Slice 115 of 155, Head
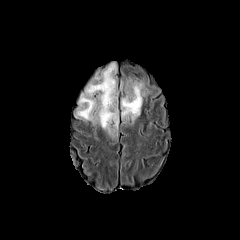
FLAIR MR.
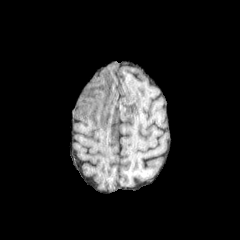
T1-weighted MR.
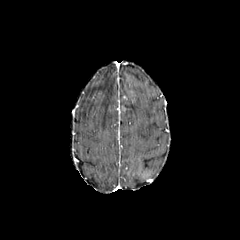
Same slice, post-contrast T1-weighted MR image.
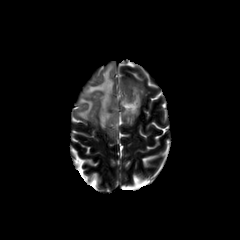
T2-weighted MR.
Annotated regions:
- peritumoral edema: x1=76, y1=62, x2=118, y2=135; x1=121, y1=82, x2=145, y2=121
- enhancing tumor: x1=123, y1=90, x2=134, y2=101